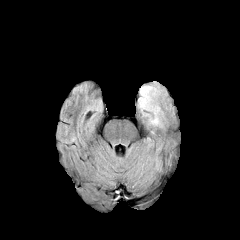
FLAIR MR image.
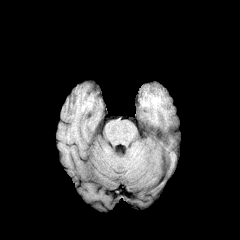
T1-weighted MR.
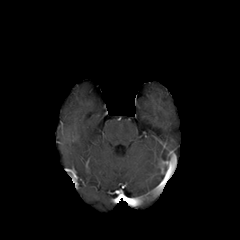
Post-contrast T1-weighted MRI.
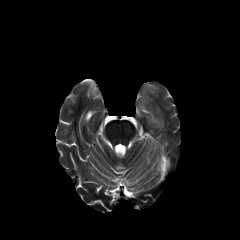
T2-weighted MR of the same slice.
Axial view
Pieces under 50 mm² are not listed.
enhancing tumor = <box>159,160,170,170</box>
peritumoral edema = <box>137,85,165,123</box>